Axial plane
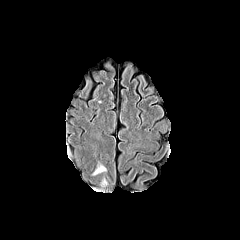
FLAIR MRI.
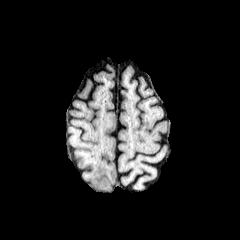
T1-weighted MR image.
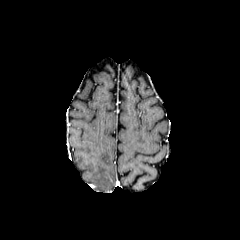
Same slice, post-contrast T1-weighted MR.
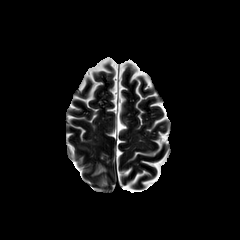
Same slice, T2-weighted MR image.
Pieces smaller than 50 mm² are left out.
peritumoral edema — region(93, 165, 106, 174)